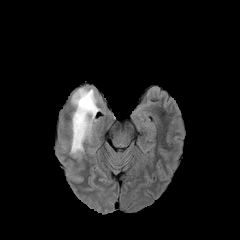
FLAIR MR.
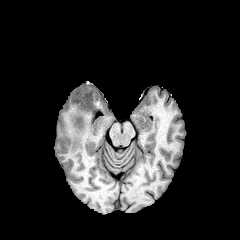
Same slice, T1-weighted MR.
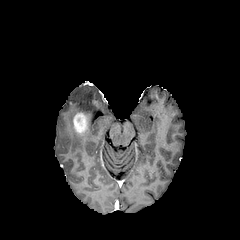
Post-contrast T1-weighted MR.
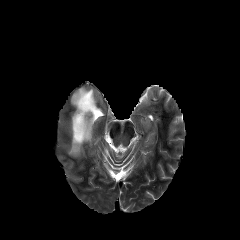
T2-weighted MRI.
Brain; Axial slice
Segmented structures:
• enhancing tumor: bbox(73, 112, 88, 136)
• peritumoral edema: bbox(70, 88, 99, 154)